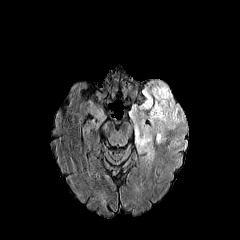
FLAIR MR.
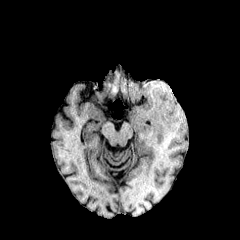
T1-weighted MR.
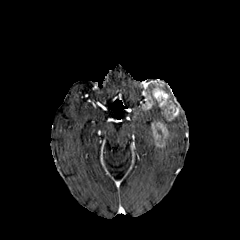
Post-contrast T1-weighted MR.
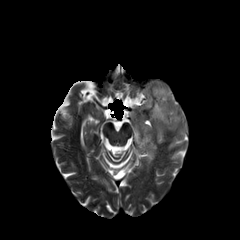
Same slice, T2-weighted MRI.
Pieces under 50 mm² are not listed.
3 enhancing tumor regions appear at 151 121 167 146, 152 84 179 120, 140 87 153 109. The largest peritumoral edema region is at 130 79 184 160.